FLAIR magnetic resonance.
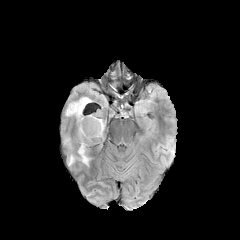
T1-weighted MR image.
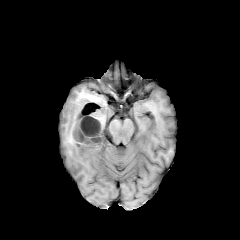
Post-contrast T1-weighted MR.
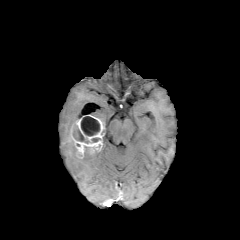
T2-weighted MR image.
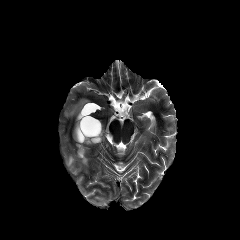
Head
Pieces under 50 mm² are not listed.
The enhancing tumor is located at <box>69,115,104,156</box>. The 2 largest necrotic tumor core regions are bounded by <box>81,116,100,136</box>, <box>72,125,88,143</box>. The 2 largest peritumoral edema regions are located at <box>65,98,89,116</box>, <box>68,147,91,166</box>.